FLAIR MRI.
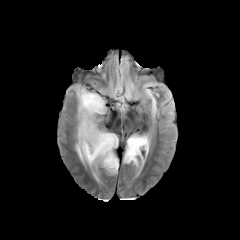
T1-weighted MRI.
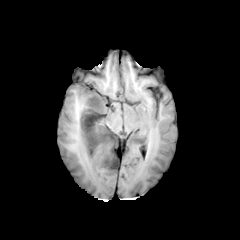
Post-contrast T1-weighted MR.
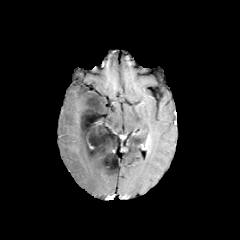
T2-weighted MRI.
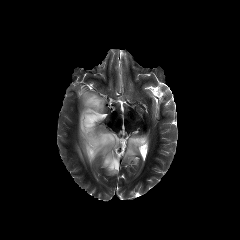
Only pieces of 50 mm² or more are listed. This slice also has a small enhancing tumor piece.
The 2 largest peritumoral edema regions are located at left=76, top=89, right=117, bottom=174; left=124, top=135, right=147, bottom=165. 2 necrotic tumor core regions are bounded by left=105, top=155, right=118, bottom=169; left=81, top=97, right=115, bottom=152.